FLAIR MR.
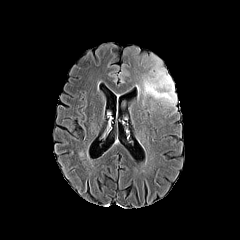
T1-weighted MR.
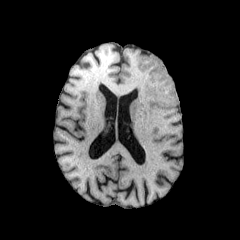
Post-contrast T1-weighted magnetic resonance.
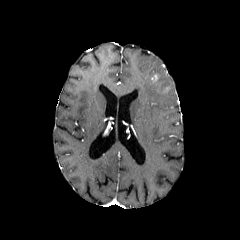
T2-weighted MR image.
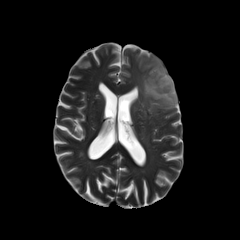
Brain; Axial slice
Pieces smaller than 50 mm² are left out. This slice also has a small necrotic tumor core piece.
* peritumoral edema: 141 54 176 109
* enhancing tumor: 151 73 159 82